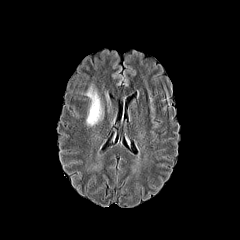
FLAIR MR.
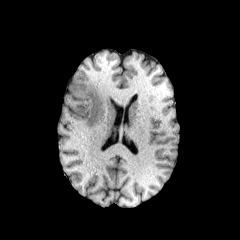
Same slice, T1-weighted MR image.
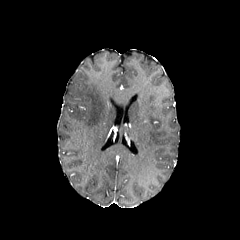
Post-contrast T1-weighted MRI of the same slice.
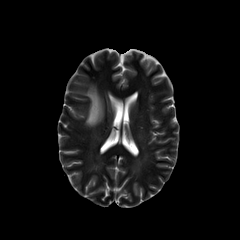
T2-weighted MR.
peritumoral edema: 85:85:103:126